FLAIR magnetic resonance.
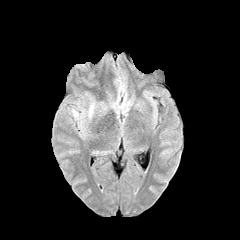
T1-weighted magnetic resonance.
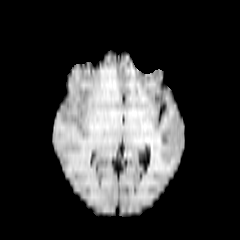
Post-contrast T1-weighted MRI.
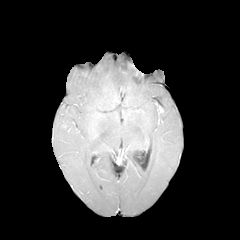
T2-weighted MRI.
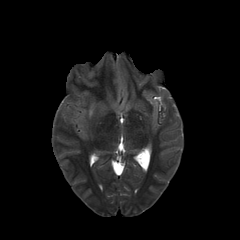
Axial slice
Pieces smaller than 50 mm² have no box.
Findings:
* peritumoral edema: x1=89, y1=103, x2=94, y2=117